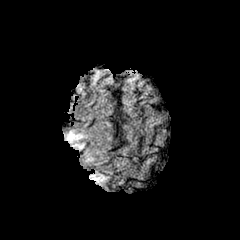
FLAIR MR.
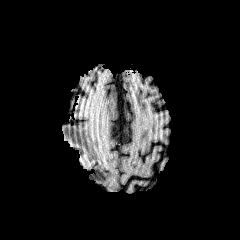
Same slice, T1-weighted MR.
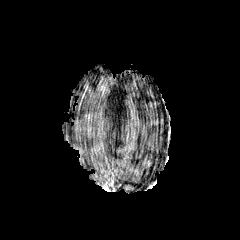
Same slice, post-contrast T1-weighted MRI.
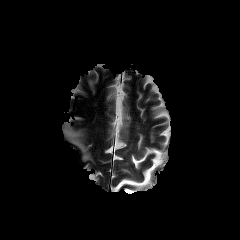
T2-weighted MR image of the same slice.
Image size 240x240. Head.
peritumoral edema: bounding box [x1=89, y1=171, x2=106, y2=183], [x1=84, y1=148, x2=94, y2=162], [x1=64, y1=129, x2=87, y2=149]